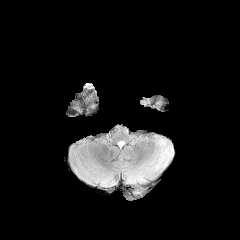
FLAIR MRI.
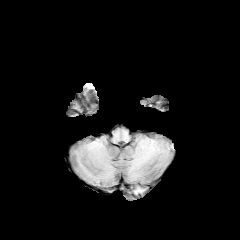
Same slice, T1-weighted MR.
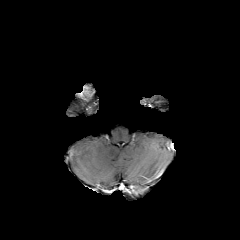
Post-contrast T1-weighted MRI.
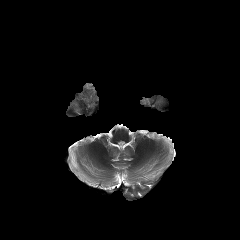
T2-weighted magnetic resonance of the same slice.
Head, 240x240
peritumoral edema at left=141, top=95, right=167, bottom=111